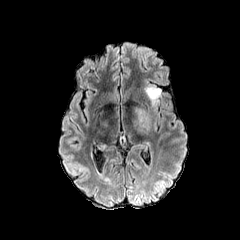
FLAIR MRI.
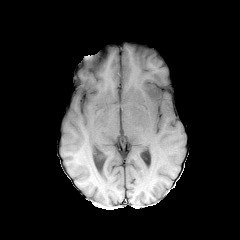
T1-weighted MRI of the same slice.
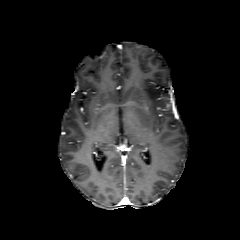
Post-contrast T1-weighted MR image.
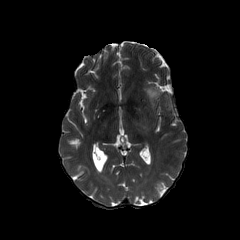
T2-weighted MR.
Head
<segmentation>
  <enhancing_tumor>l=164, t=102, r=172, b=111</enhancing_tumor>
  <peritumoral_edema>l=134, t=107, r=151, b=126; l=145, t=85, r=161, b=106</peritumoral_edema>
</segmentation>